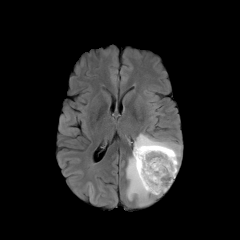
FLAIR MR.
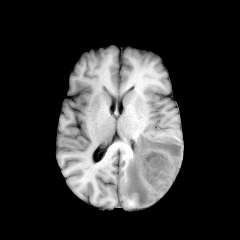
T1-weighted MR image.
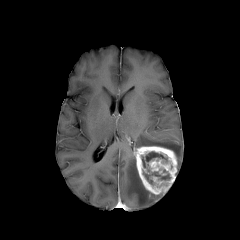
Post-contrast T1-weighted MR of the same slice.
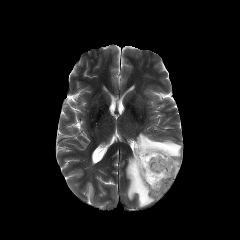
T2-weighted magnetic resonance.
Brain
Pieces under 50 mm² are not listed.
2 peritumoral edema regions are bounded by region(134, 133, 181, 169); region(126, 152, 163, 208). The 2 largest necrotic tumor core regions appear at region(151, 172, 170, 179); region(142, 152, 166, 167). The enhancing tumor is at region(133, 146, 177, 194).